240x240; Axial slice; Brain
FLAIR MRI.
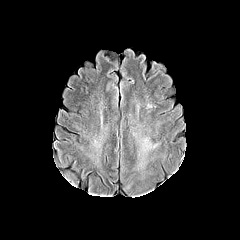
T1-weighted MR image.
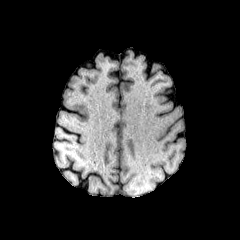
Post-contrast T1-weighted MR.
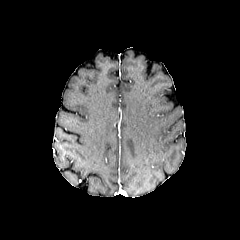
T2-weighted MRI.
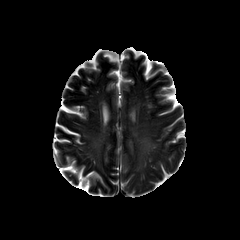
peritumoral edema: 143:137:159:151